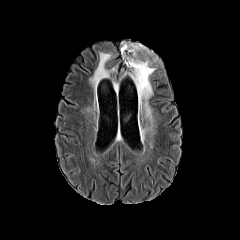
FLAIR MR image.
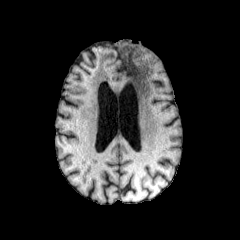
Same slice, T1-weighted MR.
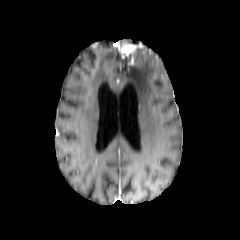
Post-contrast T1-weighted MR image of the same slice.
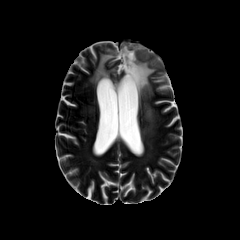
T2-weighted MR image.
Brain; Axial view
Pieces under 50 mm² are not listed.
The enhancing tumor is bounded by x1=120 y1=42 x2=143 y2=65. The 2 largest peritumoral edema regions appear at x1=123 y1=47 x2=155 y2=130, x1=90 y1=52 x2=116 y2=88.